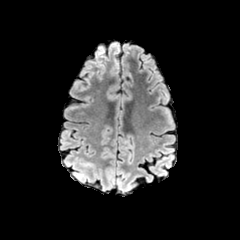
FLAIR MR.
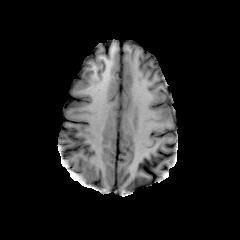
T1-weighted MR of the same slice.
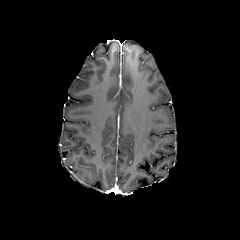
Post-contrast T1-weighted MR.
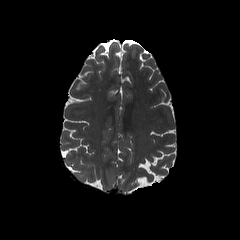
Same slice, T2-weighted magnetic resonance.
Axial slice
<segmentation>
  <peritumoral_edema>[76, 174, 86, 180]</peritumoral_edema>
</segmentation>